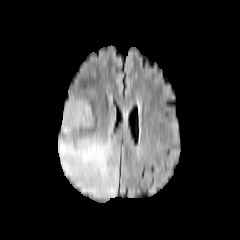
FLAIR MRI.
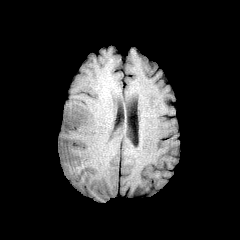
T1-weighted magnetic resonance.
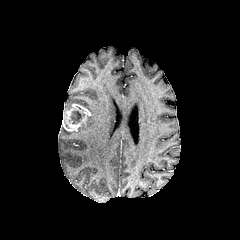
Post-contrast T1-weighted MR image.
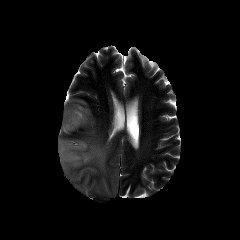
T2-weighted MR image.
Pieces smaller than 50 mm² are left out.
Segmented structures:
- peritumoral edema: (78, 116, 93, 130), (63, 99, 90, 112), (58, 121, 117, 198)
- necrotic tumor core: (69, 110, 84, 123)
- enhancing tumor: (62, 104, 91, 131)